Axial slice, 240x240 px
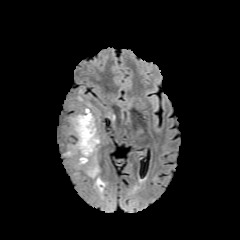
FLAIR MRI.
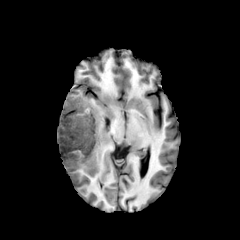
Same slice, T1-weighted magnetic resonance.
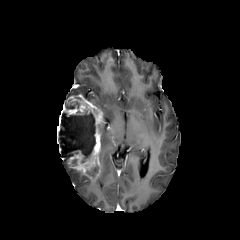
Post-contrast T1-weighted MRI.
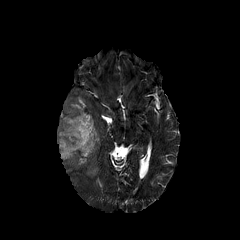
Same slice, T2-weighted magnetic resonance.
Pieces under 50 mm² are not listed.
The largest peritumoral edema region is bounded by <box>94,177,104,190</box>. The 2 largest necrotic tumor core regions are bounded by <box>58,111,95,162</box>, <box>86,166,97,175</box>. The enhancing tumor appears at <box>57,94,102,178</box>.